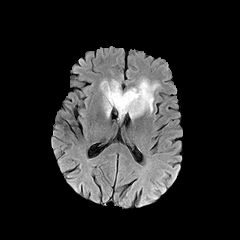
FLAIR MRI.
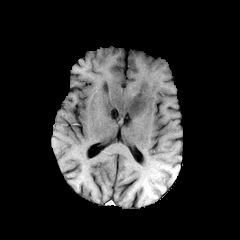
T1-weighted MR of the same slice.
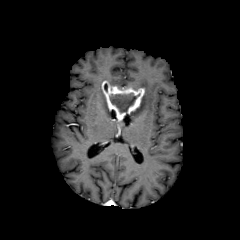
Post-contrast T1-weighted magnetic resonance of the same slice.
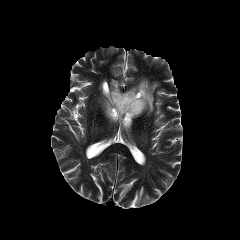
T2-weighted magnetic resonance.
Brain, Axial slice, Image size 240x240
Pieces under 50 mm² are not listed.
Segmented structures:
- peritumoral edema: region(109, 79, 120, 88); region(129, 78, 159, 118); region(103, 94, 110, 117)
- necrotic tumor core: region(110, 93, 136, 112)
- enhancing tumor: region(101, 81, 144, 121)